Axial view | Brain | 240x240
FLAIR MR image.
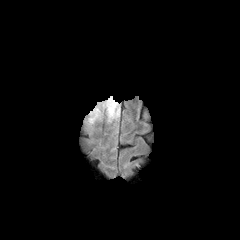
T1-weighted magnetic resonance.
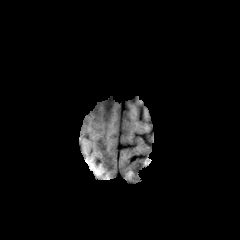
Post-contrast T1-weighted magnetic resonance.
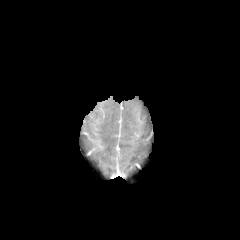
T2-weighted MRI.
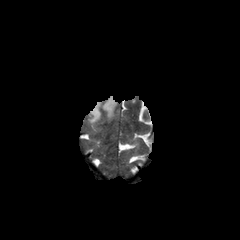
The peritumoral edema appears at [88, 97, 119, 123].